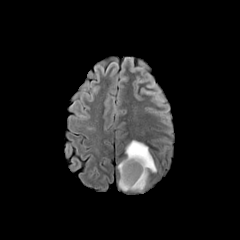
FLAIR MRI.
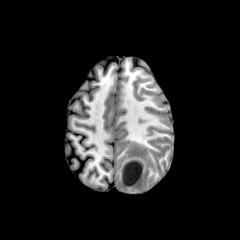
Same slice, T1-weighted MR.
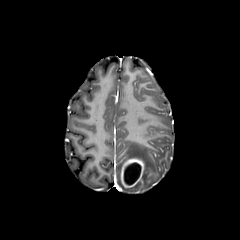
Same slice, post-contrast T1-weighted MR image.
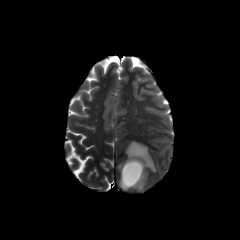
T2-weighted MR.
Axial view. Image size 240x240.
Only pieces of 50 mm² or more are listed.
enhancing tumor — (x1=121, y1=158, x2=144, y2=188)
necrotic tumor core — (x1=124, y1=162, x2=141, y2=185)
peritumoral edema — (x1=118, y1=140, x2=156, y2=191)